FLAIR MRI.
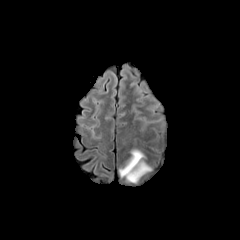
T1-weighted MRI.
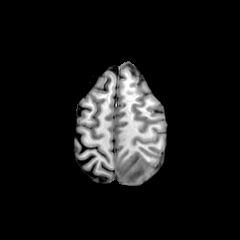
Post-contrast T1-weighted MRI.
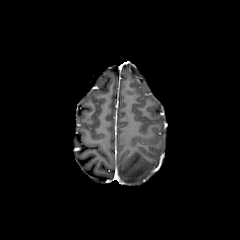
T2-weighted MR.
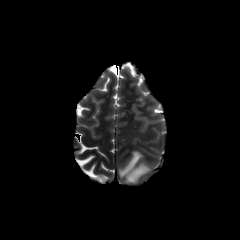
Axial view, Head, Image size 240x240
peritumoral edema: left=119, top=150, right=151, bottom=183